Brain. Image size 240x240.
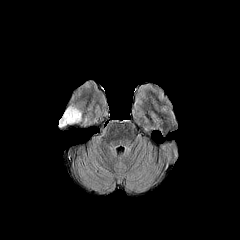
FLAIR MRI.
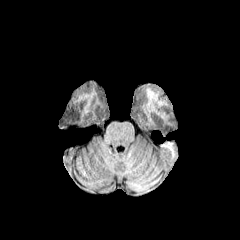
Same slice, T1-weighted MRI.
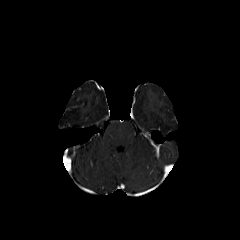
Same slice, post-contrast T1-weighted magnetic resonance.
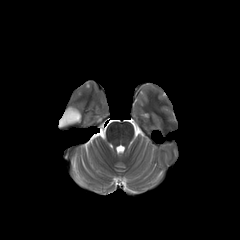
T2-weighted MRI.
peritumoral edema at [59,106,81,126]